Axial plane; Brain
FLAIR MRI.
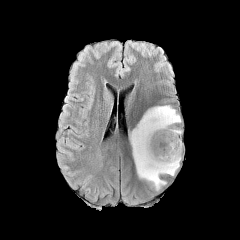
T1-weighted MRI.
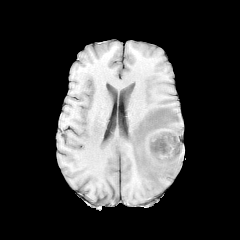
Post-contrast T1-weighted MR.
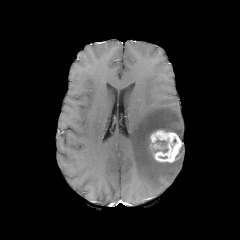
T2-weighted MR image.
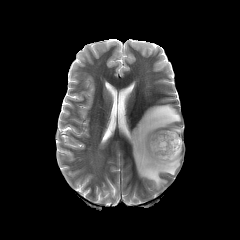
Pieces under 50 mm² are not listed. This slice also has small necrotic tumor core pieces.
{"enhancing_tumor": ["region(149, 130, 182, 162)"], "peritumoral_edema": ["region(129, 105, 182, 190)"]}